FLAIR MR image.
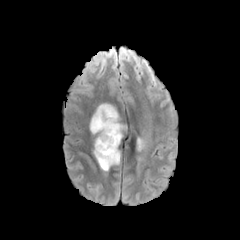
T1-weighted MR.
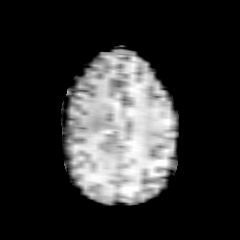
Post-contrast T1-weighted MRI.
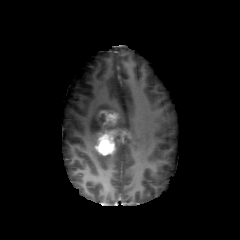
T2-weighted MR image.
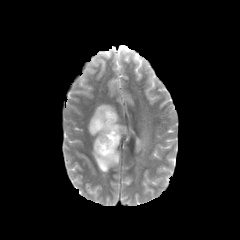
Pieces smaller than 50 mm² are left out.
Annotated regions:
* peritumoral edema: (89,103,126,171), (136,137,146,150)
* enhancing tumor: (95,129,117,155), (100,111,117,125)